Brain; Axial view
FLAIR magnetic resonance.
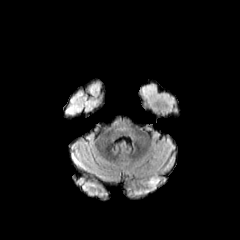
T1-weighted magnetic resonance.
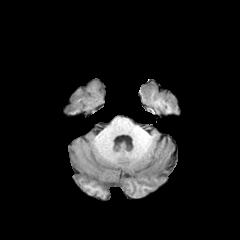
Post-contrast T1-weighted MRI.
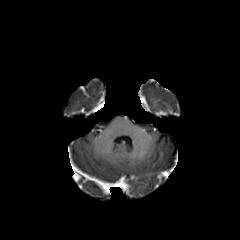
T2-weighted magnetic resonance.
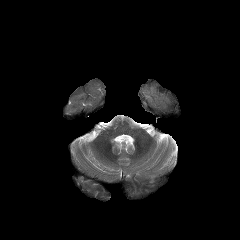
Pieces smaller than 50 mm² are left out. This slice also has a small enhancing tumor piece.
The peritumoral edema is bounded by x1=149, y1=176, x2=159, y2=186.